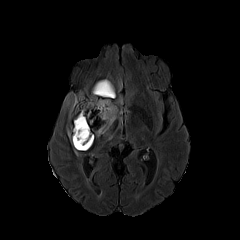
FLAIR MR.
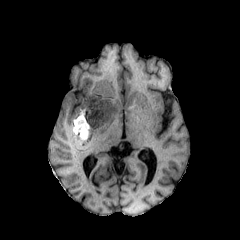
Same slice, T1-weighted MRI.
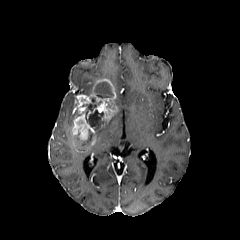
Post-contrast T1-weighted MR image of the same slice.
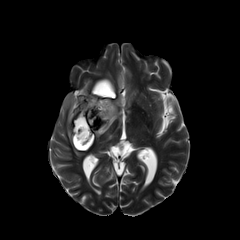
T2-weighted MR image.
Image size 240x240 | Axial slice | Head
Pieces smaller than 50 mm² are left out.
necrotic_tumor_core:
  - [x1=82, y1=98, x2=103, y2=127]
  - [x1=74, y1=129, x2=91, y2=148]
  - [x1=94, y1=82, x2=113, y2=98]
peritumoral_edema:
  - [x1=95, y1=109, x2=122, y2=137]
  - [x1=63, y1=93, x2=75, y2=119]
  - [x1=115, y1=96, x2=123, y2=105]
  - [x1=67, y1=126, x2=88, y2=156]
enhancing_tumor:
  - [x1=72, y1=78, x2=117, y2=149]